FLAIR magnetic resonance.
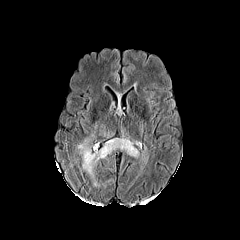
T1-weighted magnetic resonance.
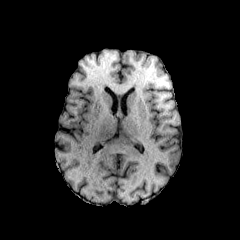
Post-contrast T1-weighted MR image.
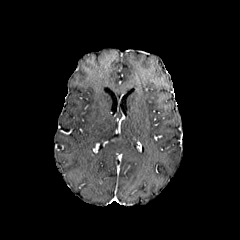
T2-weighted MRI.
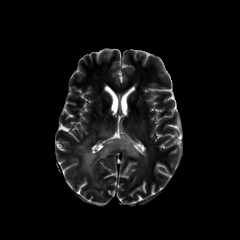
Image size 240x240. Axial slice.
<segmentation>
  <peritumoral_edema>rect(78, 138, 138, 175)</peritumoral_edema>
</segmentation>